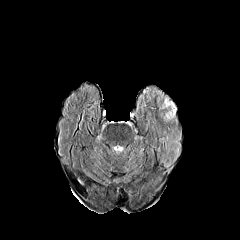
FLAIR MRI.
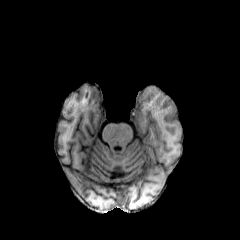
T1-weighted MR.
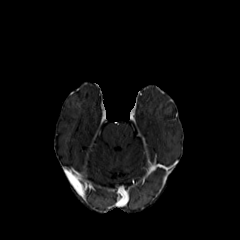
Post-contrast T1-weighted magnetic resonance of the same slice.
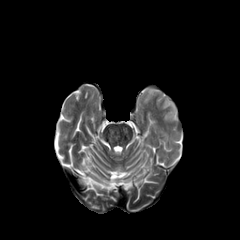
T2-weighted MRI.
Axial slice
{"peritumoral_edema": ["box(160, 97, 176, 121)"]}